FLAIR MRI.
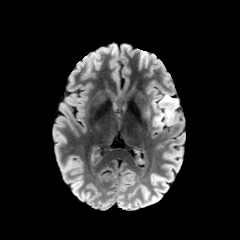
T1-weighted MRI.
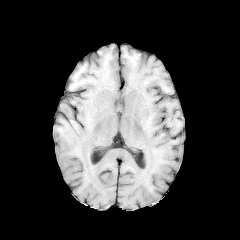
Post-contrast T1-weighted MRI.
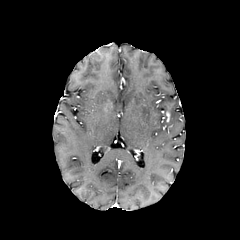
T2-weighted MR.
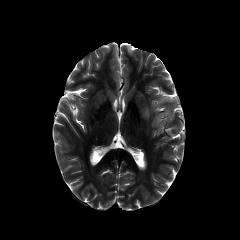
Axial slice; 240x240
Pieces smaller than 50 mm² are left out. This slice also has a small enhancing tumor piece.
- peritumoral edema: box=[152, 94, 178, 129]